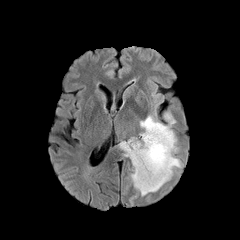
FLAIR MR.
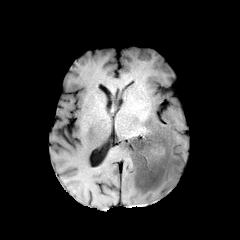
Same slice, T1-weighted MR image.
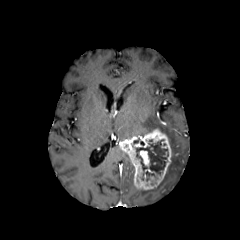
Post-contrast T1-weighted MR image.
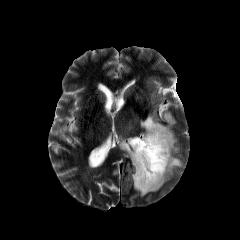
T2-weighted MR image of the same slice.
Axial plane | Head | Image size 240x240
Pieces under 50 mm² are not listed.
<segmentation>
  <necrotic_tumor_core>x1=136 y1=140 x2=167 y2=174</necrotic_tumor_core>
  <enhancing_tumor>x1=119 y1=128 x2=171 y2=190</enhancing_tumor>
  <peritumoral_edema>x1=137 y1=112 x2=182 y2=196</peritumoral_edema>
</segmentation>